Brain | Axial view
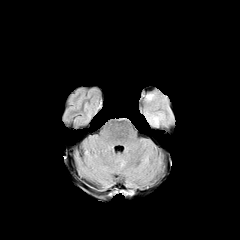
FLAIR MRI.
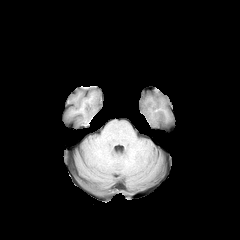
T1-weighted magnetic resonance of the same slice.
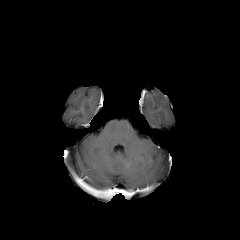
Same slice, post-contrast T1-weighted MRI.
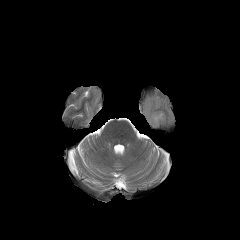
T2-weighted MR image.
peritumoral edema: [x1=147, y1=113, x2=163, y2=125]